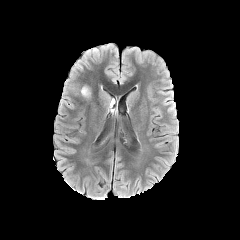
FLAIR MR image.
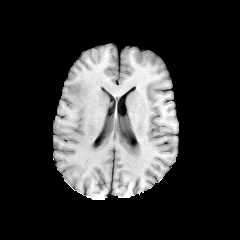
Same slice, T1-weighted MRI.
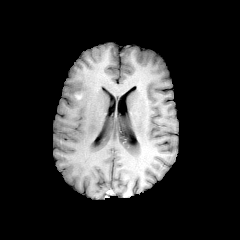
Post-contrast T1-weighted MRI of the same slice.
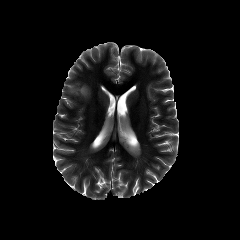
T2-weighted MR.
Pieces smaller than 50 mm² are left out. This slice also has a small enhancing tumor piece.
The largest peritumoral edema region is bounded by region(80, 86, 90, 97).